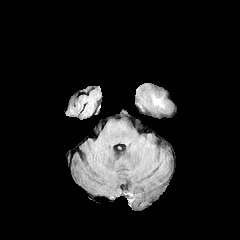
FLAIR MR.
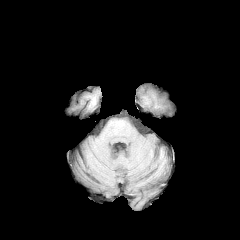
Same slice, T1-weighted MRI.
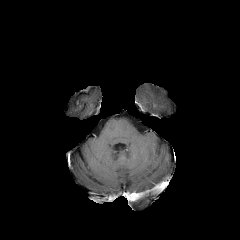
Same slice, post-contrast T1-weighted MR.
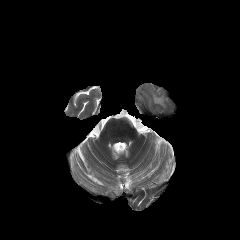
T2-weighted MR.
The peritumoral edema is located at (x1=152, y1=95, x2=164, y2=106).